Axial slice | Slice index 117 | Image width 240 mm, 1.00 mm slice spacing
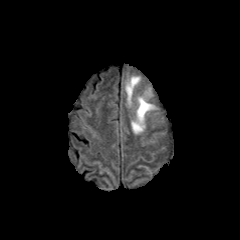
FLAIR MRI.
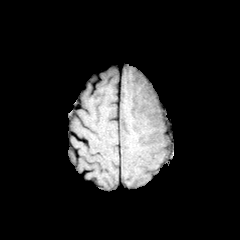
Same slice, T1-weighted MRI.
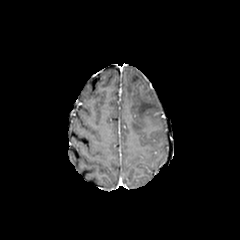
Same slice, post-contrast T1-weighted MRI.
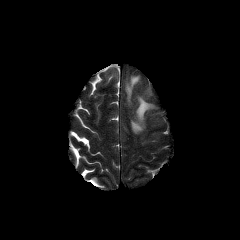
T2-weighted MR.
peritumoral edema: x1=131, y1=97, x2=154, y2=133; x1=125, y1=76, x2=139, y2=104